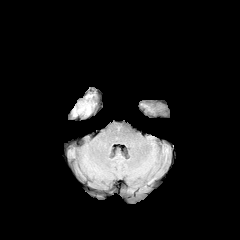
FLAIR magnetic resonance.
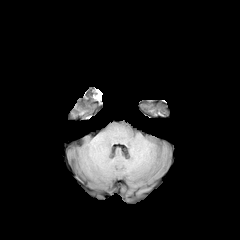
T1-weighted MR image.
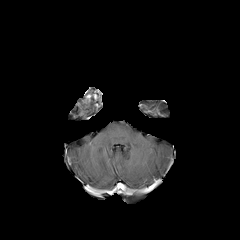
Post-contrast T1-weighted magnetic resonance.
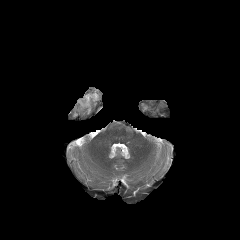
T2-weighted MR.
Brain.
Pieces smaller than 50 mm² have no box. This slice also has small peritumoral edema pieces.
<segmentation>
  <enhancing_tumor>box(77, 91, 97, 108)</enhancing_tumor>
</segmentation>